FLAIR MR.
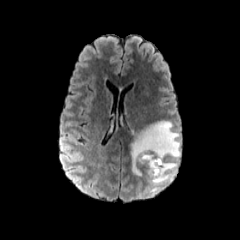
T1-weighted magnetic resonance.
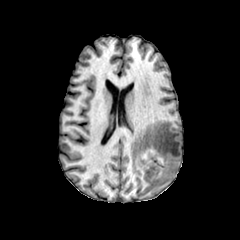
Post-contrast T1-weighted MRI.
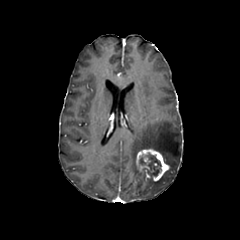
T2-weighted MR.
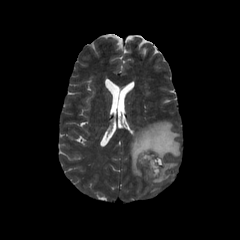
Brain.
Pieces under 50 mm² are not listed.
Annotated regions:
• necrotic tumor core: (x1=146, y1=153, x2=161, y2=177)
• peritumoral edema: (x1=128, y1=120, x2=180, y2=195)
• enhancing tumor: (x1=135, y1=148, x2=169, y2=181)